Slice 79 of 155, Axial slice, Brain, Image covers 240 mm x 240 mm
FLAIR MR image.
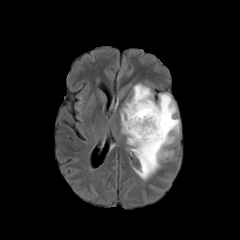
T1-weighted MRI.
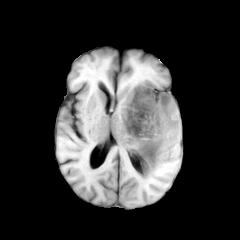
Post-contrast T1-weighted MR.
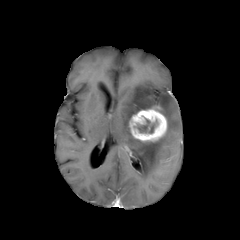
T2-weighted MR.
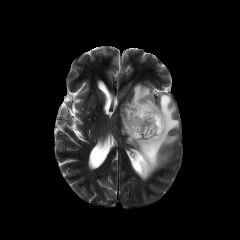
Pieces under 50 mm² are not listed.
Segmented structures:
* peritumoral edema: box=[120, 83, 179, 180]
* necrotic tumor core: box=[138, 120, 149, 132]
* enhancing tumor: box=[128, 106, 167, 142]